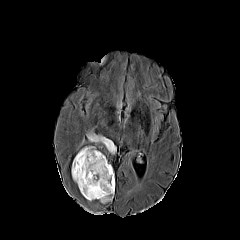
FLAIR MR image.
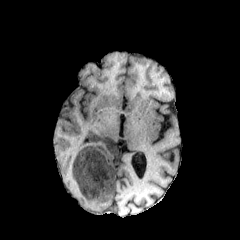
T1-weighted magnetic resonance of the same slice.
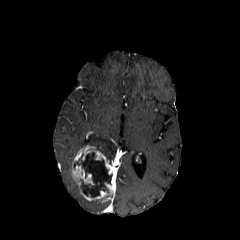
Post-contrast T1-weighted MR image.
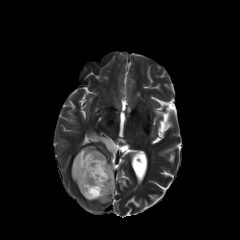
T2-weighted MR.
Image size 240x240 | Head | Axial plane
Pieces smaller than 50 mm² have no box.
enhancing tumor: 72:145:115:202
necrotic tumor core: 73:152:112:197
peritumoral edema: 88:133:115:153